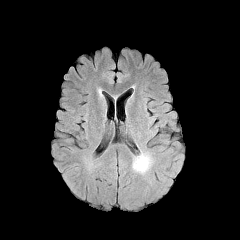
FLAIR MRI.
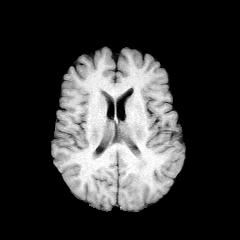
T1-weighted MRI of the same slice.
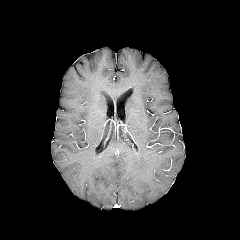
Post-contrast T1-weighted magnetic resonance of the same slice.
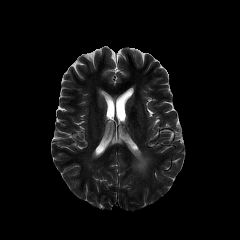
Same slice, T2-weighted MR.
Brain | 240x240 px | Axial view
Annotated regions:
* peritumoral edema: left=133, top=154, right=150, bottom=173